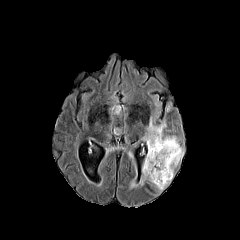
FLAIR magnetic resonance.
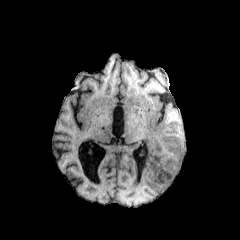
Same slice, T1-weighted MR image.
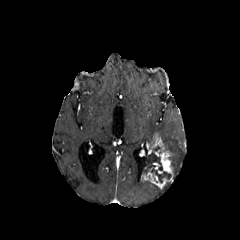
Same slice, post-contrast T1-weighted MR.
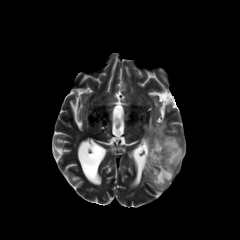
T2-weighted MR of the same slice.
Axial plane
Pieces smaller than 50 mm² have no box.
The largest enhancing tumor region is bounded by left=141, top=133, right=173, bottom=189. The largest peritumoral edema region lies within left=142, top=118, right=184, bottom=172. The largest necrotic tumor core region lies within left=143, top=152, right=171, bottom=182.